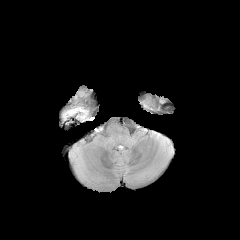
FLAIR MRI.
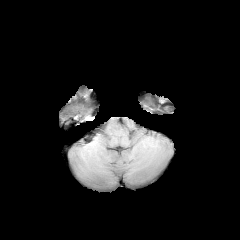
Same slice, T1-weighted MR.
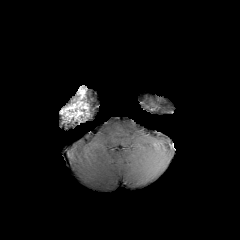
Post-contrast T1-weighted MRI of the same slice.
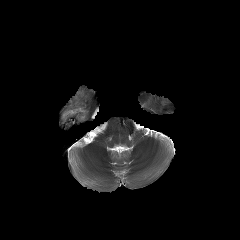
Same slice, T2-weighted magnetic resonance.
Brain | Axial slice
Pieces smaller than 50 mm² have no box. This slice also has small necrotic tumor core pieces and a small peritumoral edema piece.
The enhancing tumor lies within x1=61 y1=87 x2=88 y2=121.